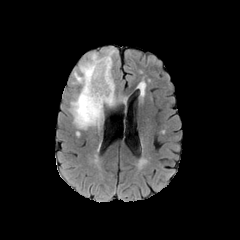
FLAIR magnetic resonance.
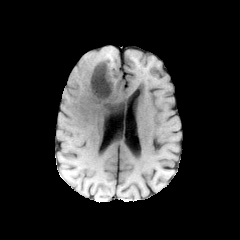
T1-weighted MRI.
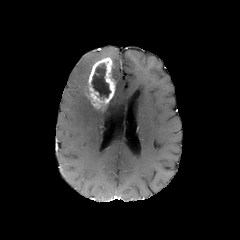
Post-contrast T1-weighted magnetic resonance.
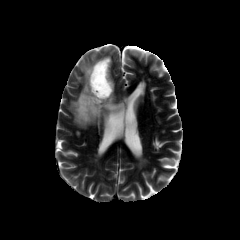
T2-weighted magnetic resonance.
Brain | Image size 240x240
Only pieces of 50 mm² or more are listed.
The enhancing tumor is at [85, 57, 115, 110]. The 2 largest peritumoral edema regions appear at [69, 48, 115, 129], [107, 94, 126, 107]. The necrotic tumor core is bounded by [92, 64, 110, 97].